Brain | Slice index 110
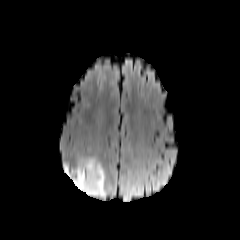
FLAIR MR image.
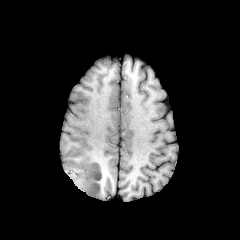
T1-weighted MR.
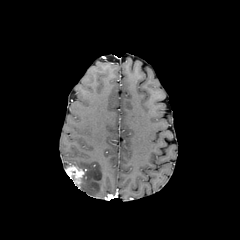
Post-contrast T1-weighted MR.
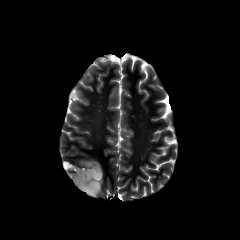
T2-weighted magnetic resonance of the same slice.
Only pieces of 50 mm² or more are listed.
enhancing tumor: bounding box (65, 165, 85, 188)
peritumoral edema: bounding box (78, 158, 105, 197)